Axial plane
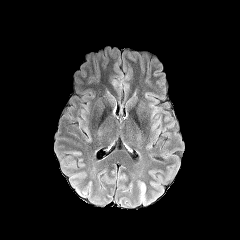
FLAIR MRI.
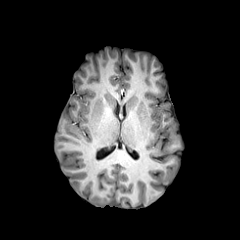
T1-weighted magnetic resonance.
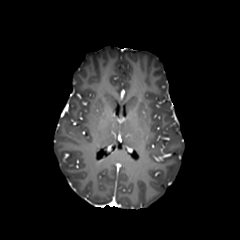
Post-contrast T1-weighted magnetic resonance.
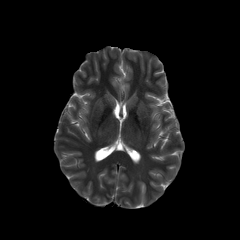
Same slice, T2-weighted MR.
peritumoral_edema:
  - 138 180 146 203